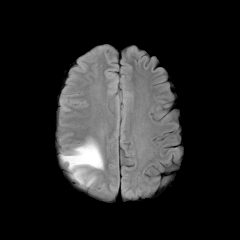
FLAIR MR.
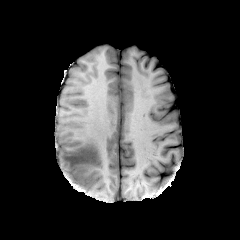
T1-weighted magnetic resonance.
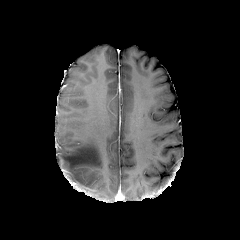
Post-contrast T1-weighted magnetic resonance of the same slice.
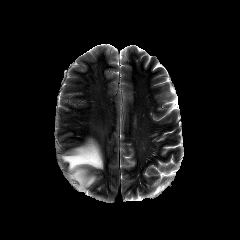
T2-weighted magnetic resonance.
Axial plane
The peritumoral edema appears at (61,138,103,186).